FLAIR MRI.
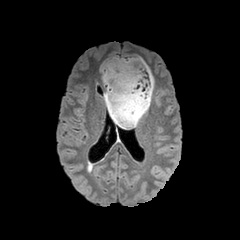
T1-weighted MR image.
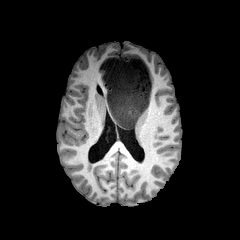
Post-contrast T1-weighted MRI.
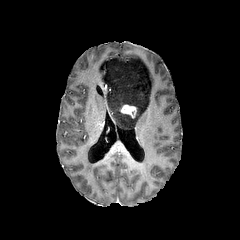
T2-weighted magnetic resonance.
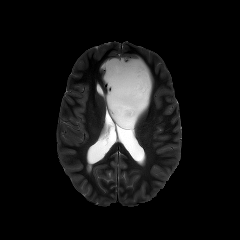
Head
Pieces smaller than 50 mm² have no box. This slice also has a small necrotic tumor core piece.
The enhancing tumor is bounded by rect(120, 104, 136, 118). The peritumoral edema appears at rect(100, 57, 154, 127).